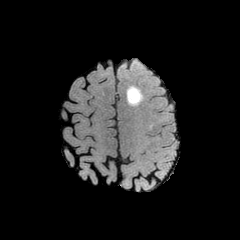
FLAIR MR image.
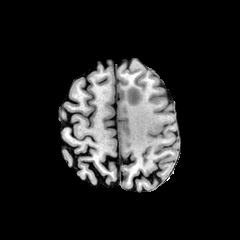
Same slice, T1-weighted MRI.
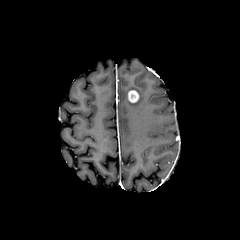
Post-contrast T1-weighted MR.
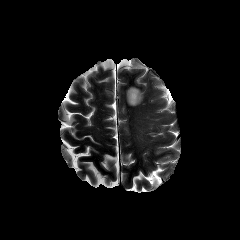
Same slice, T2-weighted MR image.
240x240 px
enhancing_tumor:
  - (left=128, top=90, right=139, bottom=102)
peritumoral_edema:
  - (left=126, top=86, right=143, bottom=106)